240x240, Slice 113 of 155
FLAIR MR image.
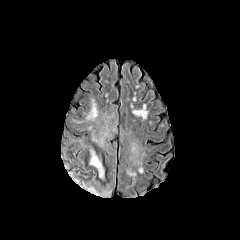
T1-weighted MR image.
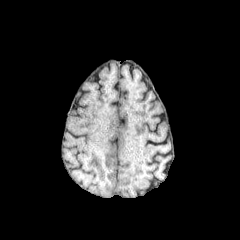
Post-contrast T1-weighted MR image.
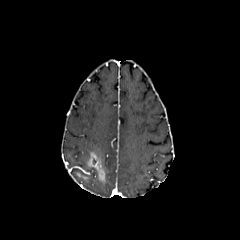
T2-weighted MR.
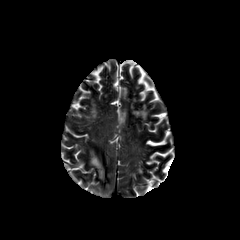
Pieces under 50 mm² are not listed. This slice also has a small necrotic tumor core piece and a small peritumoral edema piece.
enhancing tumor: 89, 152, 104, 181